Slice index 93; 240x240; Brain
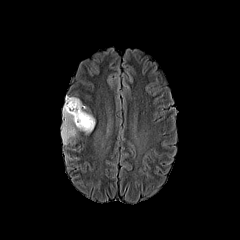
FLAIR MR image.
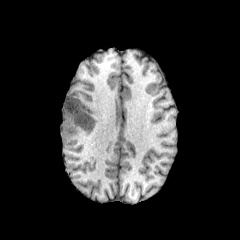
Same slice, T1-weighted MR.
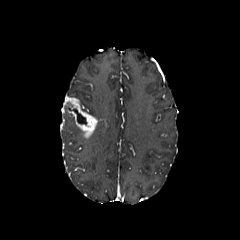
Post-contrast T1-weighted MRI of the same slice.
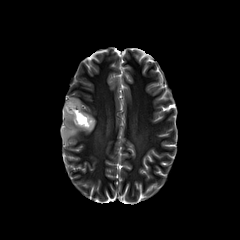
T2-weighted magnetic resonance.
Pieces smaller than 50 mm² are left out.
peritumoral edema — 61, 109, 82, 144
enhancing tumor — 63, 96, 96, 135
necrotic tumor core — 65, 107, 86, 124